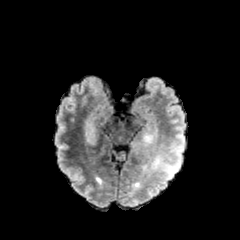
FLAIR magnetic resonance.
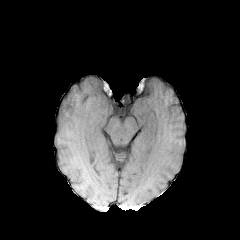
T1-weighted MR.
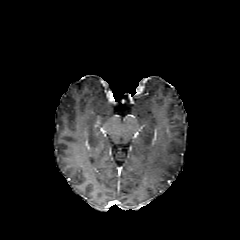
Post-contrast T1-weighted magnetic resonance.
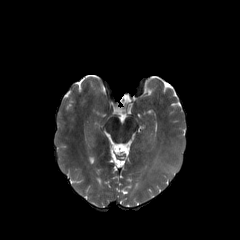
Same slice, T2-weighted MR image.
Axial plane. 240x240 px.
<segmentation>
  <peritumoral_edema>l=150, t=145, r=182, b=179</peritumoral_edema>
</segmentation>